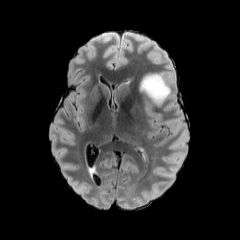
FLAIR MR image.
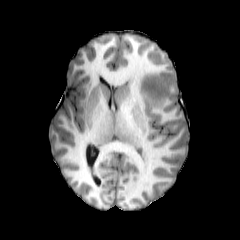
T1-weighted MR of the same slice.
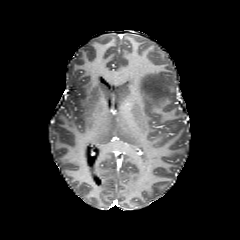
Same slice, post-contrast T1-weighted magnetic resonance.
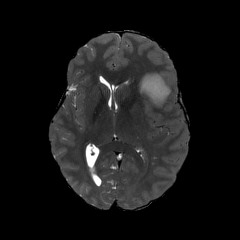
T2-weighted MRI.
Brain
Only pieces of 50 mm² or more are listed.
<segmentation>
  <peritumoral_edema>bbox=[140, 73, 171, 107]</peritumoral_edema>
</segmentation>